240x240 px; Axial slice; Image covers 240 mm x 240 mm
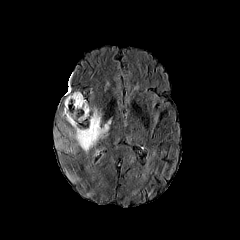
FLAIR MRI.
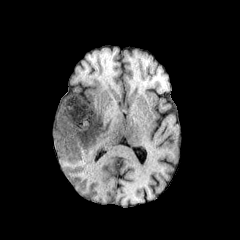
T1-weighted MR image.
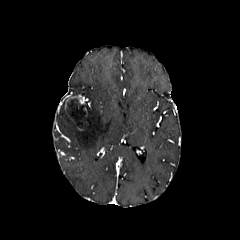
Post-contrast T1-weighted MRI of the same slice.
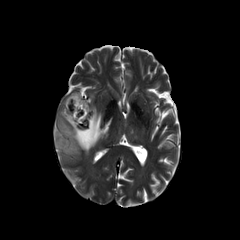
T2-weighted MR image.
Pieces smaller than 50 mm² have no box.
The largest peritumoral edema region is at 55, 108, 111, 153. The largest enhancing tumor region is at 64, 94, 84, 122. The necrotic tumor core is at 66, 99, 88, 125.